FLAIR magnetic resonance.
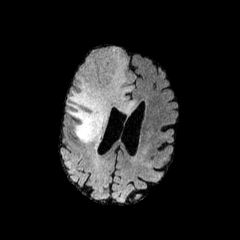
T1-weighted magnetic resonance.
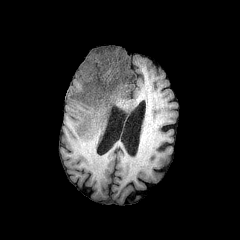
Post-contrast T1-weighted MR.
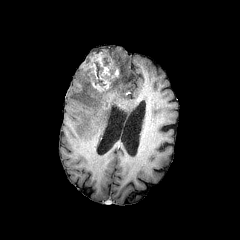
T2-weighted MR.
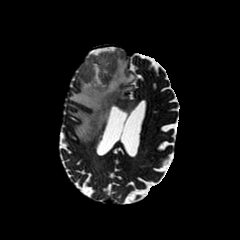
240x240. Axial view. Head.
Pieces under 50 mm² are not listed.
peritumoral edema at bbox(68, 47, 135, 143)
enhancing tumor at bbox(82, 49, 120, 105)
necrotic tumor core at bbox(94, 62, 102, 77)